Slice index 89; Axial slice
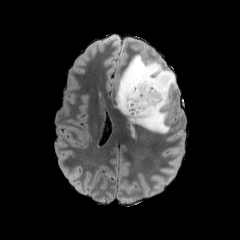
FLAIR MRI.
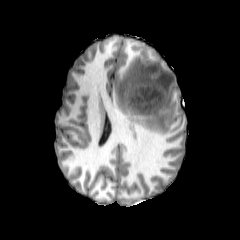
T1-weighted MR image of the same slice.
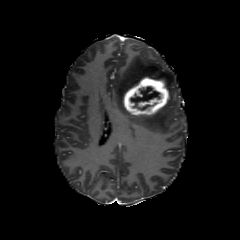
Post-contrast T1-weighted MR of the same slice.
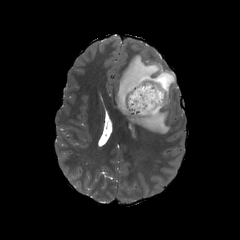
Same slice, T2-weighted MR.
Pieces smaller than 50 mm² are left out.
Findings:
- enhancing tumor: box(123, 76, 168, 115)
- necrotic tumor core: box(130, 86, 160, 107)
- peritumoral edema: box(114, 54, 176, 133)